Slice 45 of 155, Image width 240 mm, 1.00 mm slice spacing
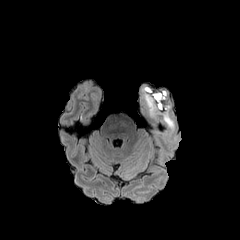
FLAIR MR.
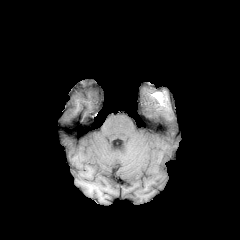
T1-weighted MRI of the same slice.
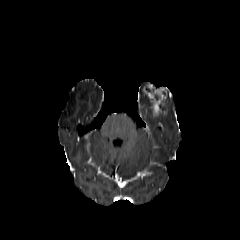
Post-contrast T1-weighted MRI of the same slice.
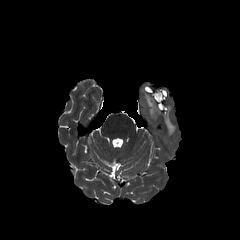
T2-weighted MR of the same slice.
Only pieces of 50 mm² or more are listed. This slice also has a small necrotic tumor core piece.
Annotated regions:
• peritumoral edema: (x1=161, y1=104, x2=173, y2=132), (x1=144, y1=95, x2=155, y2=118)
• enhancing tumor: (x1=143, y1=84, x2=166, y2=116)